FLAIR magnetic resonance.
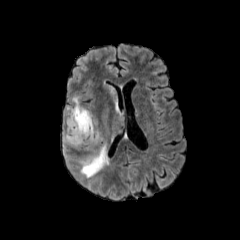
T1-weighted MR.
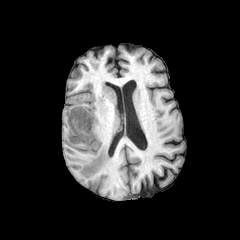
Post-contrast T1-weighted MR.
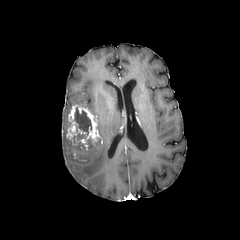
T2-weighted MR image.
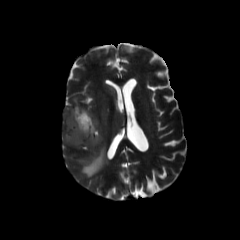
Brain
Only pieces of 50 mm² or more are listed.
necrotic tumor core = bbox(74, 108, 91, 134); bbox(73, 133, 86, 139)
peritumoral edema = bbox(64, 106, 71, 125); bbox(62, 129, 68, 159); bbox(72, 97, 80, 105); bbox(78, 82, 123, 177)
enhancing tumor = bbox(65, 105, 101, 158)